Slice index 104
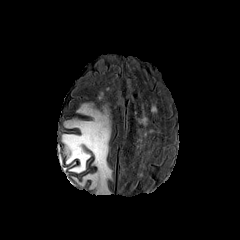
FLAIR magnetic resonance.
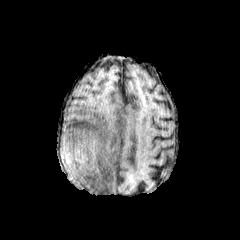
T1-weighted magnetic resonance of the same slice.
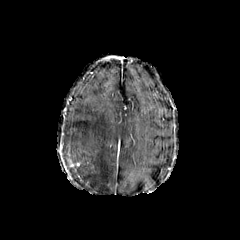
Post-contrast T1-weighted MR.
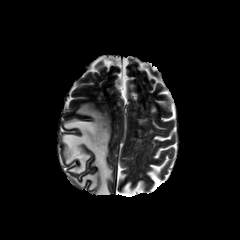
T2-weighted MR image.
- peritumoral edema: 63,104,112,193